Brain; 240x240; Axial slice
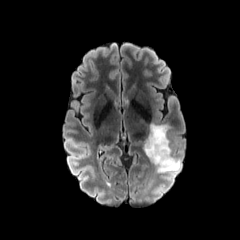
FLAIR MRI.
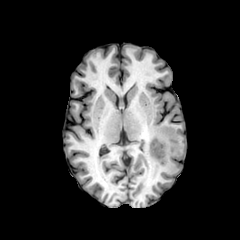
T1-weighted MR.
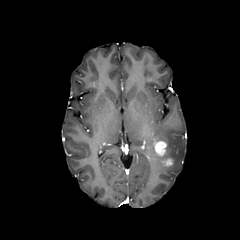
Post-contrast T1-weighted MRI.
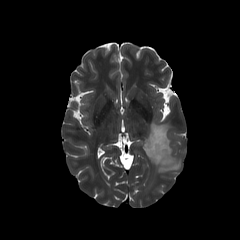
T2-weighted MR image of the same slice.
enhancing tumor: x1=151 y1=139 x2=172 y2=166 | peritumoral edema: x1=144 y1=123 x2=181 y2=177